240x240, Axial view, Head
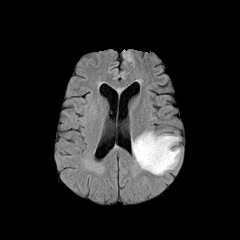
FLAIR MR image.
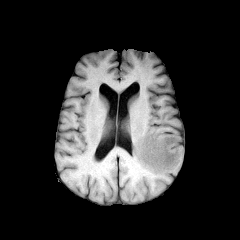
T1-weighted MR image of the same slice.
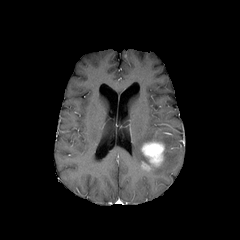
Post-contrast T1-weighted MRI.
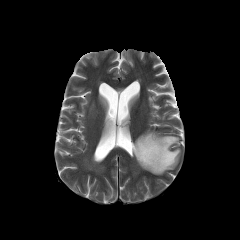
T2-weighted MR of the same slice.
<segmentation>
  <peritumoral_edema>(123, 49, 131, 60), (132, 131, 180, 174)</peritumoral_edema>
  <enhancing_tumor>(141, 141, 165, 170)</enhancing_tumor>
</segmentation>